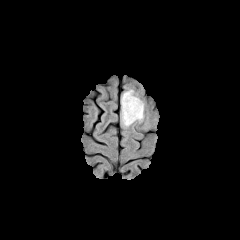
FLAIR MR.
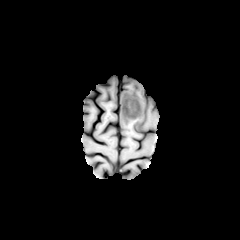
T1-weighted magnetic resonance.
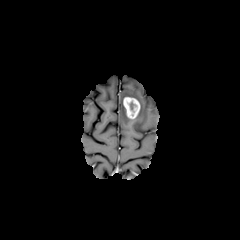
Same slice, post-contrast T1-weighted MRI.
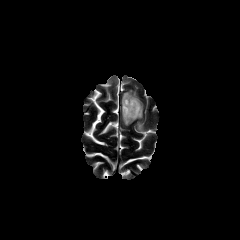
T2-weighted MR.
Axial view | 240x240 | Head
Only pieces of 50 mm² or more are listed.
Findings:
* peritumoral edema: [x1=121, y1=89, x2=144, y2=127]
* enhancing tumor: [x1=123, y1=97, x2=140, y2=119]
* necrotic tumor core: [x1=128, y1=101, x2=138, y2=111]